Axial view, 240x240, Head
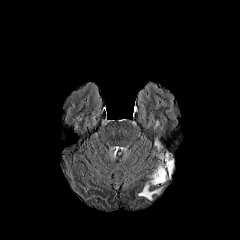
FLAIR MRI.
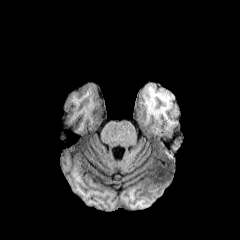
T1-weighted MR image of the same slice.
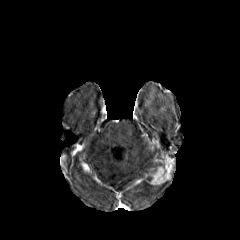
Post-contrast T1-weighted magnetic resonance.
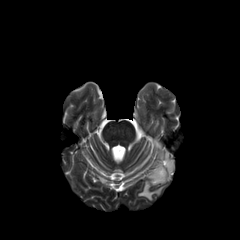
T2-weighted MR image.
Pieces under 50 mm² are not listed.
enhancing tumor at left=149, top=152, right=174, bottom=184
peritumoral edema at left=138, top=182, right=162, bottom=200